Slice 76 of 155. Brain.
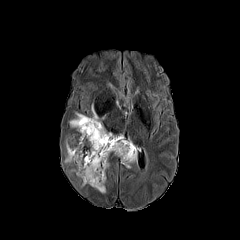
FLAIR MR image.
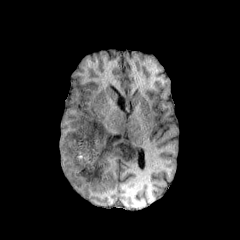
T1-weighted MRI.
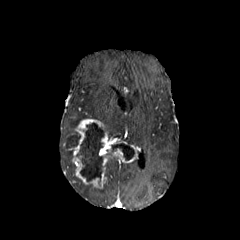
Post-contrast T1-weighted MR image of the same slice.
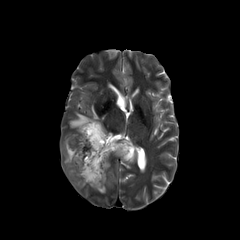
Same slice, T2-weighted MRI.
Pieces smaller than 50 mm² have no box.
<segmentation>
  <enhancing_tumor><box>69,118,138,188</box></enhancing_tumor>
  <peritumoral_edema><box>69,112,88,127</box>, <box>91,105,99,120</box>, <box>64,141,72,163</box></peritumoral_edema>
  <necrotic_tumor_core><box>77,123,104,181</box>, <box>112,143,134,160</box></necrotic_tumor_core>
</segmentation>